FLAIR MR image.
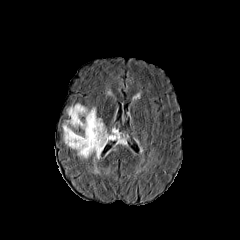
T1-weighted MR image.
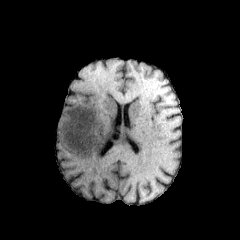
Post-contrast T1-weighted MR.
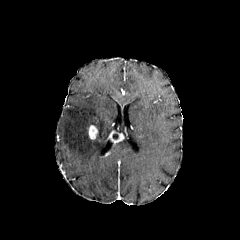
T2-weighted MR.
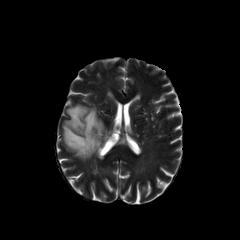
Brain
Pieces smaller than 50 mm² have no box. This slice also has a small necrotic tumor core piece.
enhancing_tumor:
  - 108 130 124 142
  - 88 125 98 139
peritumoral_edema:
  - 62 103 108 174